FLAIR magnetic resonance.
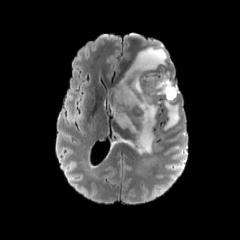
T1-weighted MR image.
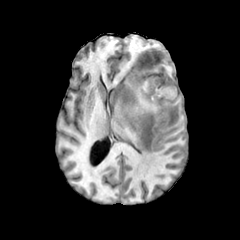
Post-contrast T1-weighted MRI.
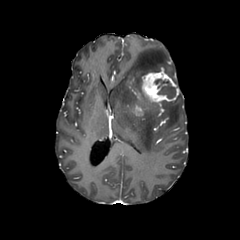
T2-weighted MR.
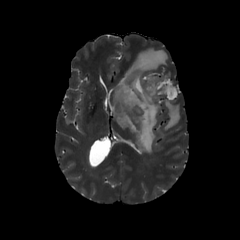
Head. Image size 240x240.
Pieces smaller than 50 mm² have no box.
peritumoral edema: (111, 45, 167, 153), (162, 101, 179, 129) | necrotic tumor core: (155, 79, 175, 98) | enhancing tumor: (135, 106, 143, 115), (141, 71, 179, 104)